FLAIR MR.
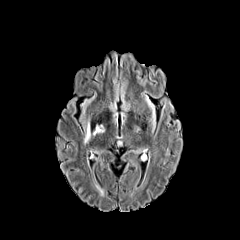
T1-weighted MRI.
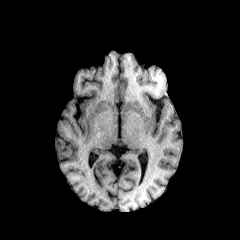
Post-contrast T1-weighted magnetic resonance.
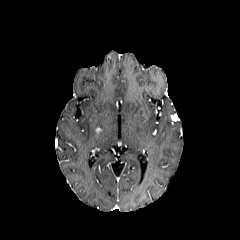
T2-weighted magnetic resonance.
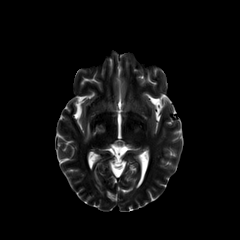
Axial plane
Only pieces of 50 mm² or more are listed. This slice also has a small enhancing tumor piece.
The largest peritumoral edema region is located at x1=84 y1=122 x2=90 y2=143.